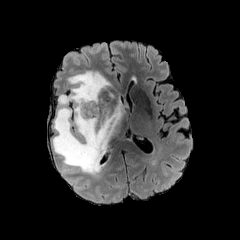
FLAIR MR image.
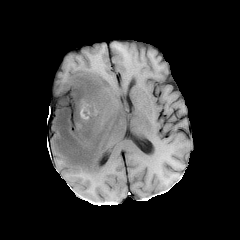
T1-weighted MRI.
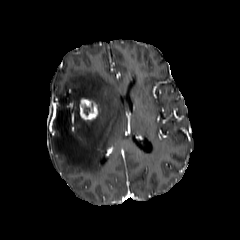
Post-contrast T1-weighted MRI of the same slice.
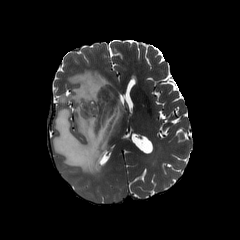
Same slice, T2-weighted MR.
Head
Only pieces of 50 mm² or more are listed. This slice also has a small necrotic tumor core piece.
peritumoral edema — x1=52, y1=70, x2=127, y2=176
enhancing tumor — x1=79, y1=98, x2=98, y2=121